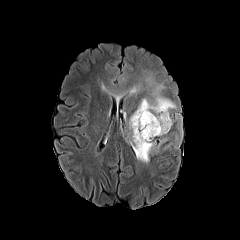
FLAIR MRI.
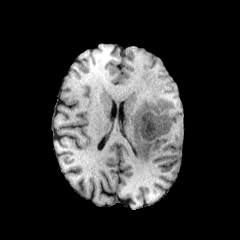
T1-weighted MR.
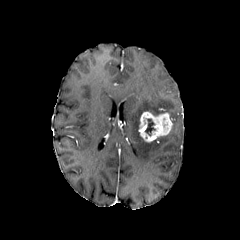
Post-contrast T1-weighted magnetic resonance.
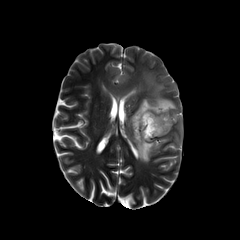
T2-weighted MR image.
Head.
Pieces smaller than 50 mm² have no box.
The enhancing tumor lies within [139, 108, 172, 142]. The largest peritumoral edema region is at [129, 76, 175, 162]. The necrotic tumor core lies within [145, 119, 155, 135].